Slice index 108
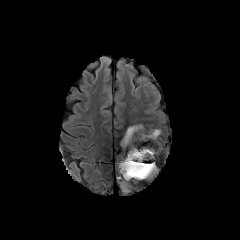
FLAIR MRI.
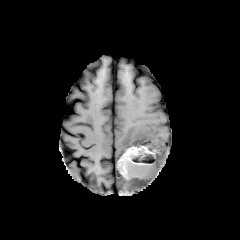
T1-weighted MR image.
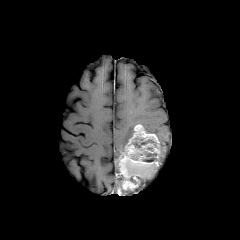
Post-contrast T1-weighted magnetic resonance.
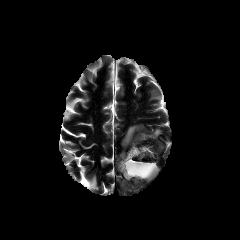
Same slice, T2-weighted MR image.
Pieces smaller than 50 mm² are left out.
• enhancing tumor: region(118, 124, 160, 189)
• necrotic tumor core: region(126, 149, 157, 182); region(133, 140, 155, 148)
• peritumoral edema: region(149, 129, 161, 136); region(121, 125, 135, 147)